Image width 240 mm, 1.00 mm slice spacing; Head; 240x240 px
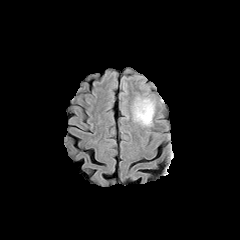
FLAIR MRI.
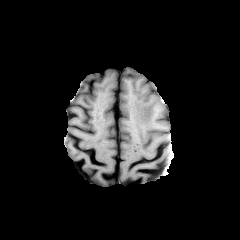
Same slice, T1-weighted MR.
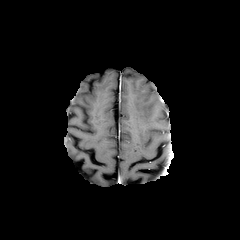
Post-contrast T1-weighted MR of the same slice.
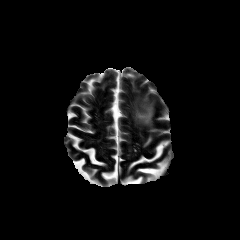
Same slice, T2-weighted MR image.
peritumoral_edema:
  - (134,99,153,125)